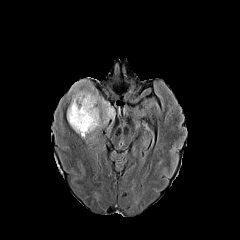
FLAIR MR.
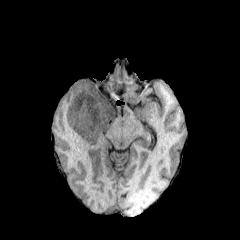
Same slice, T1-weighted magnetic resonance.
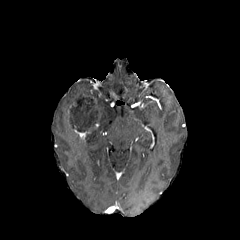
Post-contrast T1-weighted MR.
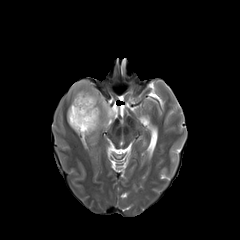
T2-weighted MR image of the same slice.
240x240 px. Head.
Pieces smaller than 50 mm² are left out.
necrotic_tumor_core:
  - {"x1": 70, "y1": 97, "x2": 102, "y2": 132}
peritumoral_edema:
  - {"x1": 67, "y1": 80, "x2": 114, "y2": 127}
enhancing_tumor:
  - {"x1": 74, "y1": 128, "x2": 91, "y2": 137}